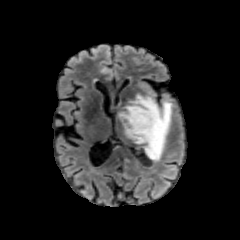
FLAIR MRI.
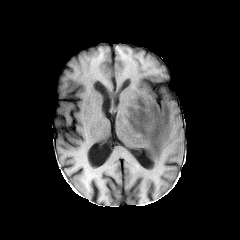
T1-weighted MR.
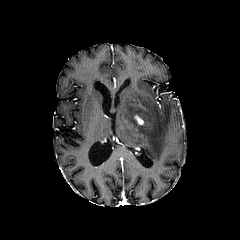
Same slice, post-contrast T1-weighted MRI.
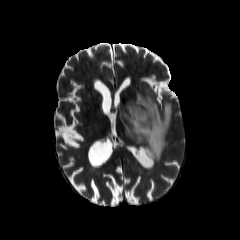
T2-weighted MRI of the same slice.
Axial view | Brain
peritumoral edema: left=115, top=93, right=172, bottom=169 | enhancing tumor: left=134, top=115, right=144, bottom=125